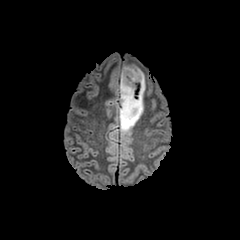
FLAIR MR image.
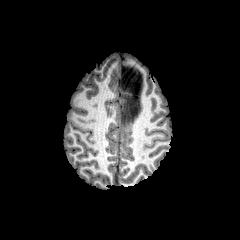
T1-weighted magnetic resonance.
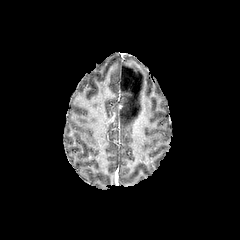
Same slice, post-contrast T1-weighted MR.
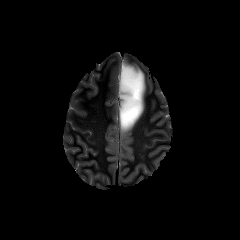
T2-weighted MR image of the same slice.
Brain.
{
  "peritumoral_edema": [
    "x1=120, y1=64, x2=145, y2=134"
  ]
}